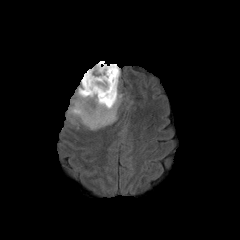
FLAIR MR image.
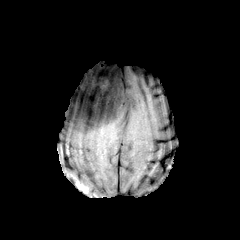
T1-weighted magnetic resonance.
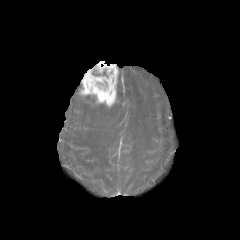
Same slice, post-contrast T1-weighted magnetic resonance.
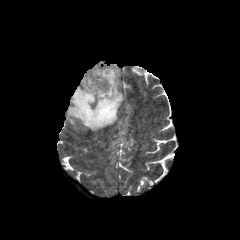
T2-weighted MR.
240x240 px, Axial plane
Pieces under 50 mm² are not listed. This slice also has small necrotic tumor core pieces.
enhancing tumor: x1=79 y1=61 x2=118 y2=106 | peritumoral edema: x1=66 y1=67 x2=122 y2=130